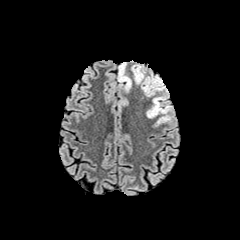
FLAIR MR image.
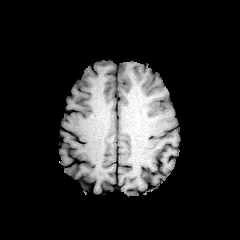
Same slice, T1-weighted MRI.
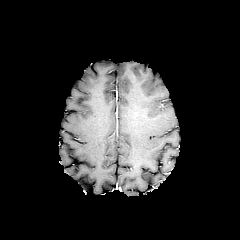
Post-contrast T1-weighted MR.
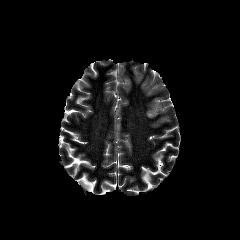
T2-weighted MR image.
Axial plane. Brain.
peritumoral_edema:
  - region(146, 96, 171, 126)
  - region(118, 63, 131, 91)
  - region(132, 65, 165, 96)